FLAIR MR.
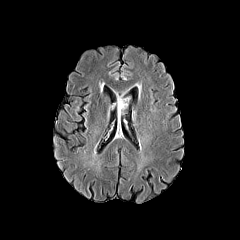
T1-weighted magnetic resonance.
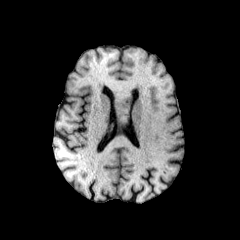
Post-contrast T1-weighted magnetic resonance.
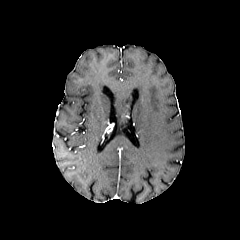
T2-weighted MRI.
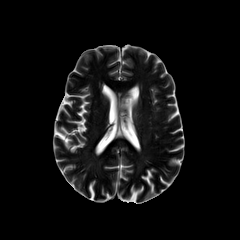
Segmented structures:
• peritumoral edema: 117,97,129,126